FLAIR MRI.
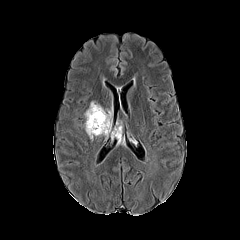
T1-weighted MR.
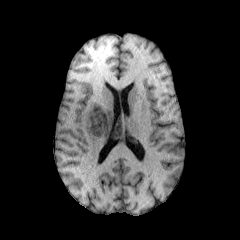
Post-contrast T1-weighted MR.
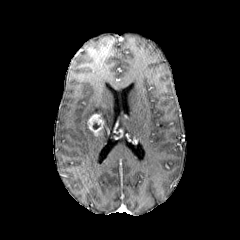
T2-weighted MR.
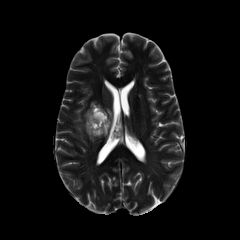
Brain, Axial view
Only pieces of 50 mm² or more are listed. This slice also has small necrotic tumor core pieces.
- peritumoral edema: 84, 101, 112, 140
- enhancing tumor: 87, 114, 104, 135